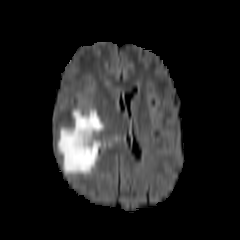
FLAIR MR image.
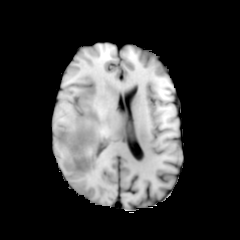
Same slice, T1-weighted magnetic resonance.
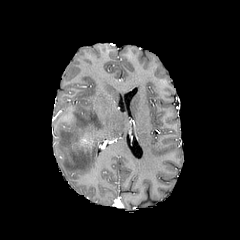
Post-contrast T1-weighted magnetic resonance.
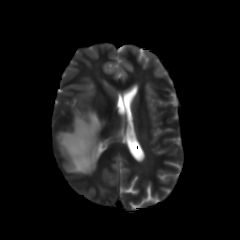
T2-weighted MR image of the same slice.
Axial view.
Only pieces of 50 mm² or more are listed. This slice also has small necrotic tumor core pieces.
The largest peritumoral edema region appears at 56, 109, 104, 174. The enhancing tumor lies within 75, 130, 91, 147.